FLAIR MR image.
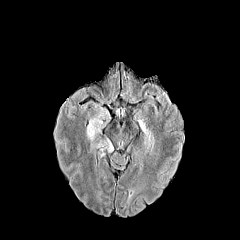
T1-weighted MR.
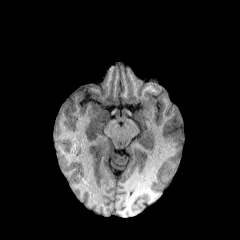
Post-contrast T1-weighted magnetic resonance.
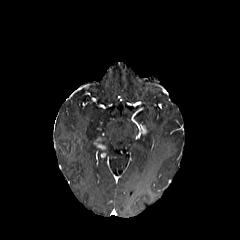
T2-weighted magnetic resonance.
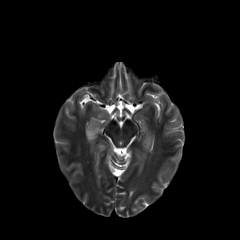
Brain.
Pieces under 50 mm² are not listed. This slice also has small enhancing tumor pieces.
peritumoral edema = bbox(96, 140, 112, 151); bbox(86, 118, 100, 154)